Brain | 240x240 px | Axial slice | Image width 240 mm, 1.00 mm slice spacing
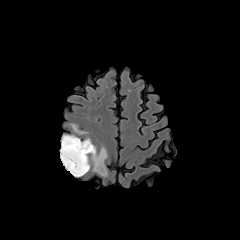
FLAIR MR.
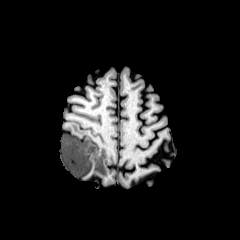
Same slice, T1-weighted MR.
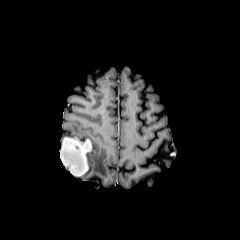
Post-contrast T1-weighted MR image.
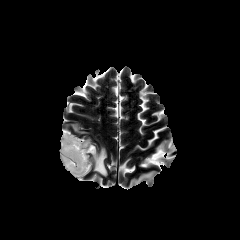
T2-weighted magnetic resonance of the same slice.
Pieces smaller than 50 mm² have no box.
peritumoral edema: <bbox>61, 134, 76, 147</bbox>, <bbox>71, 124, 86, 134</bbox>, <bbox>85, 143, 107, 176</bbox>
enhancing tumor: <bbox>60, 137, 91, 176</bbox>